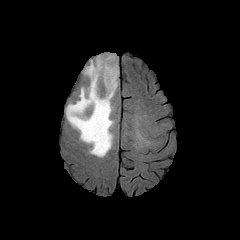
FLAIR MRI.
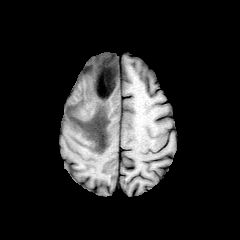
T1-weighted MR of the same slice.
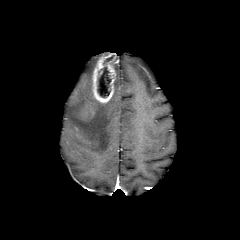
Post-contrast T1-weighted magnetic resonance.
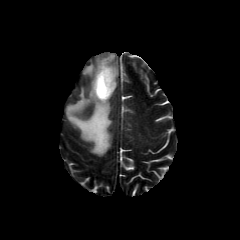
T2-weighted MRI.
Axial view | Head
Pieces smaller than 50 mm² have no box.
enhancing tumor at [92,53,118,103]
necrotic tumor core at [97,67,110,97]
peritumoral edema at [115,65,118,91], [65,55,114,156]